FLAIR MR.
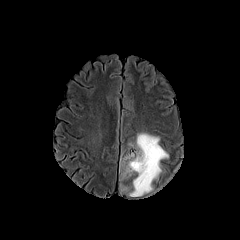
T1-weighted MRI.
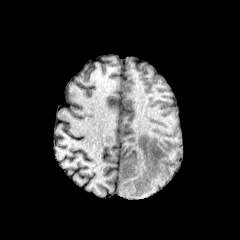
Post-contrast T1-weighted MR image.
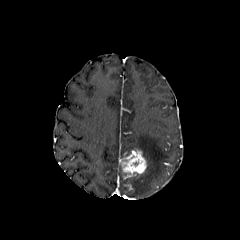
T2-weighted MRI.
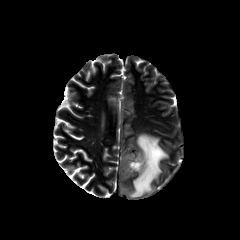
Brain.
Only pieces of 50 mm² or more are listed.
The largest peritumoral edema region is at 128:133:168:196. The enhancing tumor is located at 120:149:147:179.